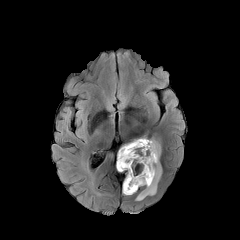
FLAIR MR.
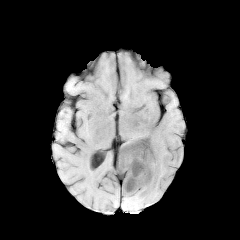
T1-weighted MR.
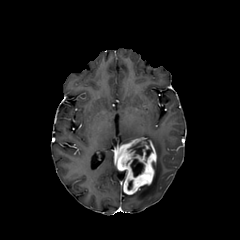
Same slice, post-contrast T1-weighted MRI.
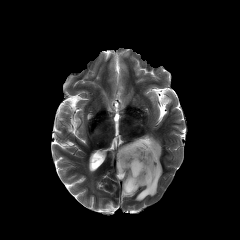
T2-weighted magnetic resonance of the same slice.
Brain.
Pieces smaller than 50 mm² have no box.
Segmented structures:
• necrotic tumor core: 128,141,144,156; 130,158,144,176
• peritumoral edema: 135,138,162,200
• enhancing tumor: 116,137,156,194